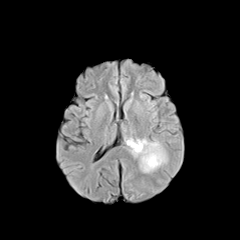
FLAIR magnetic resonance.
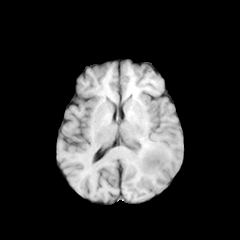
T1-weighted MR image.
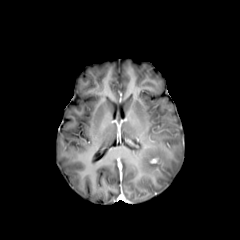
Same slice, post-contrast T1-weighted MRI.
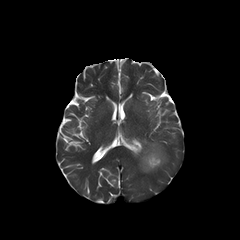
T2-weighted MR of the same slice.
Brain; Image size 240x240
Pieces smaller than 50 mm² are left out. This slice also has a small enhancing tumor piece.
peritumoral_edema:
  - bbox=[125, 138, 167, 172]